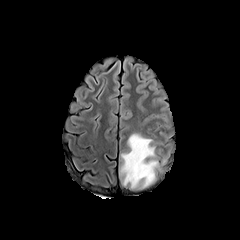
FLAIR MR.
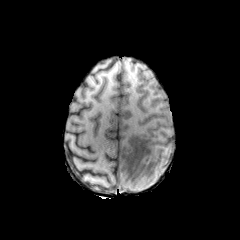
T1-weighted magnetic resonance of the same slice.
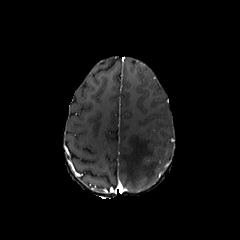
Post-contrast T1-weighted MR image of the same slice.
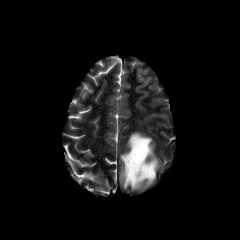
T2-weighted MR image of the same slice.
Brain
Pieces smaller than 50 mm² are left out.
peritumoral edema: (left=120, top=133, right=159, bottom=188)